Image width 240 mm, Slice 54 of 155
FLAIR MR.
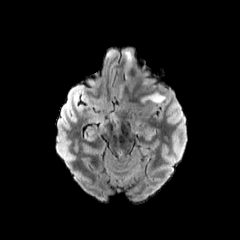
T1-weighted MR.
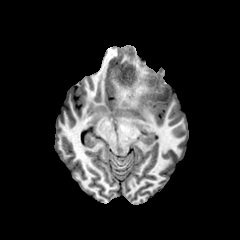
Post-contrast T1-weighted MRI.
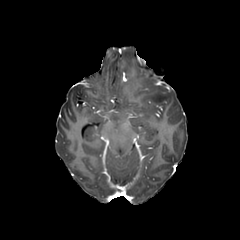
T2-weighted magnetic resonance.
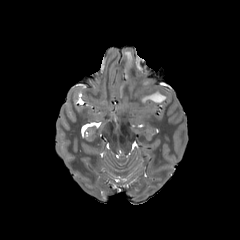
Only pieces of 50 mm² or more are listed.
Segmented structures:
• peritumoral edema: [123, 51, 132, 71], [142, 92, 165, 102]
• enhancing tumor: [122, 70, 133, 81]